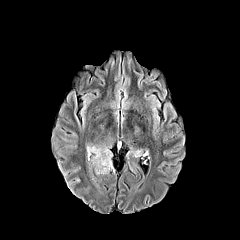
FLAIR MR.
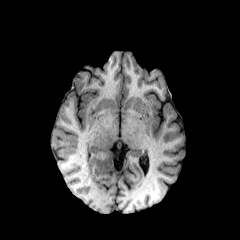
T1-weighted MR image of the same slice.
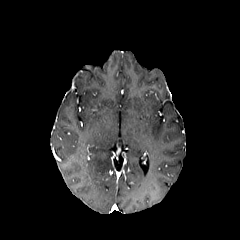
Post-contrast T1-weighted MR image of the same slice.
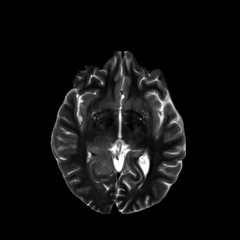
T2-weighted magnetic resonance.
240x240 px, Head
Findings:
* peritumoral edema: region(90, 147, 112, 173)